Head | Slice index 76 | Axial view
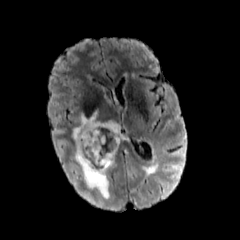
FLAIR magnetic resonance.
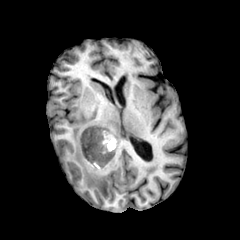
T1-weighted MR.
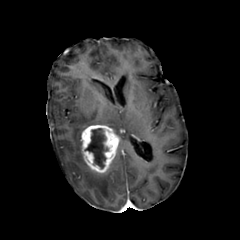
Post-contrast T1-weighted magnetic resonance of the same slice.
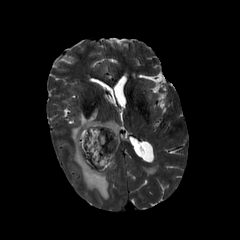
T2-weighted magnetic resonance.
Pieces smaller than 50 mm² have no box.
<segmentation>
  <peritumoral_edema>72:111:125:199</peritumoral_edema>
  <enhancing_tumor>80:125:119:173</enhancing_tumor>
  <necrotic_tumor_core>85:128:108:168</necrotic_tumor_core>
</segmentation>